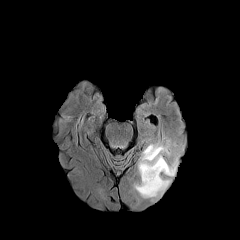
FLAIR MR.
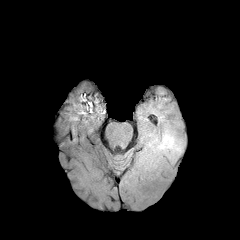
T1-weighted magnetic resonance.
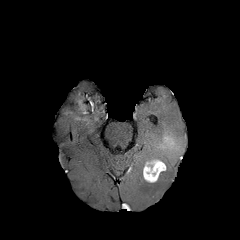
Post-contrast T1-weighted magnetic resonance.
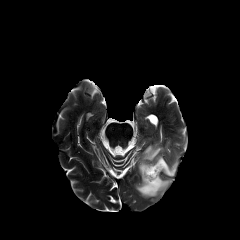
T2-weighted MRI.
Image size 240x240 | Brain
The enhancing tumor lies within region(143, 160, 166, 182). The peritumoral edema is at region(134, 143, 178, 199). The necrotic tumor core is at region(147, 164, 157, 175).